FLAIR MR image.
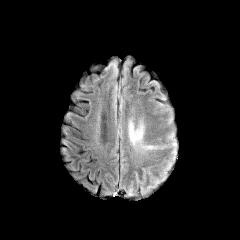
T1-weighted MR.
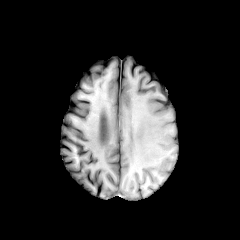
Post-contrast T1-weighted MR image.
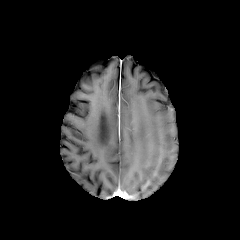
T2-weighted MR image.
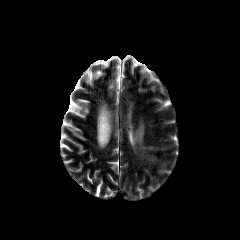
240x240. Brain.
peritumoral_edema:
  - <bbox>129, 126, 142, 143</bbox>